Brain; Axial slice; Image width 240 mm, 1.00 mm slice spacing; Image size 240x240
FLAIR MR image.
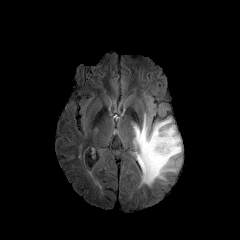
T1-weighted MR.
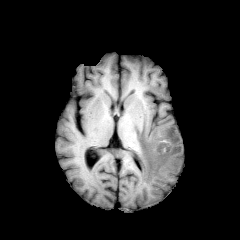
Post-contrast T1-weighted magnetic resonance.
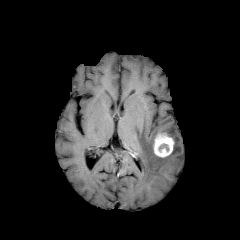
T2-weighted magnetic resonance.
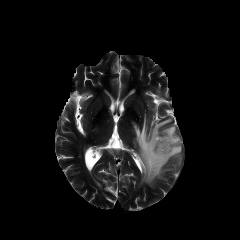
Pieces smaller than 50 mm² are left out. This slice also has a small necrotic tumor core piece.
peritumoral edema: left=133, top=115, right=182, bottom=185
enhancing tumor: left=153, top=133, right=174, bottom=157